Image width 240 mm, Brain, Slice 95 of 155
FLAIR MRI.
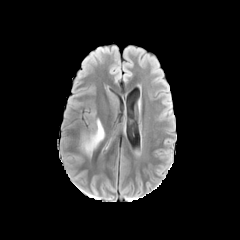
T1-weighted MR.
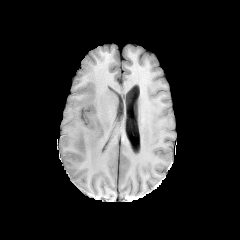
Post-contrast T1-weighted MR image.
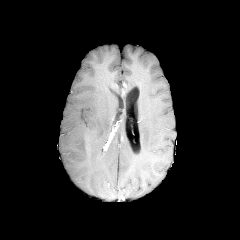
T2-weighted MR image.
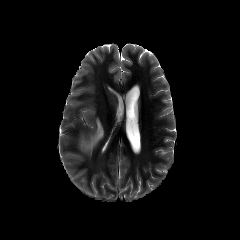
<segmentation>
  <peritumoral_edema>x1=81, y1=118, x2=104, y2=155</peritumoral_edema>
</segmentation>